Head, Axial view
FLAIR MR.
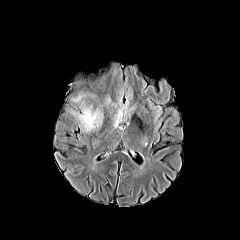
T1-weighted magnetic resonance.
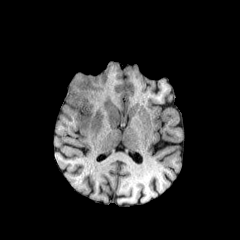
Post-contrast T1-weighted MR image.
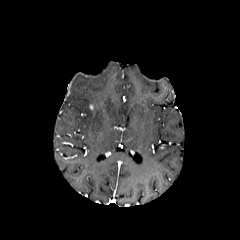
T2-weighted magnetic resonance.
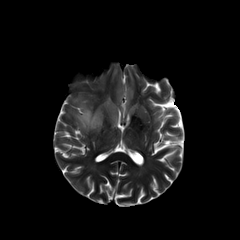
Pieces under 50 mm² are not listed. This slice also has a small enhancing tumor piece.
peritumoral_edema:
  - (left=78, top=108, right=101, bottom=131)
  - (left=115, top=111, right=122, bottom=125)